Image size 240x240 | Head | Axial plane
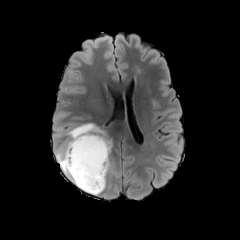
FLAIR MR.
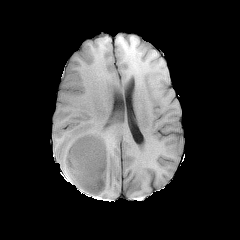
T1-weighted MR image.
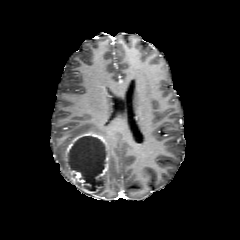
Post-contrast T1-weighted magnetic resonance.
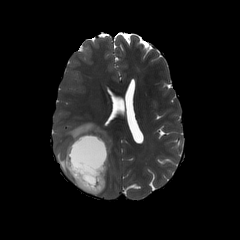
T2-weighted MR.
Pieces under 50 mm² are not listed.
enhancing tumor: 60, 133, 107, 195; 95, 151, 108, 179 | peritumoral edema: 105, 139, 111, 157; 65, 123, 105, 139; 55, 146, 70, 179 | necrotic tumor core: 68, 136, 105, 190